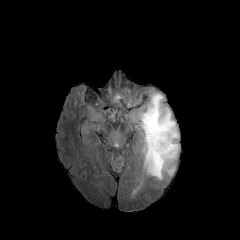
FLAIR MRI.
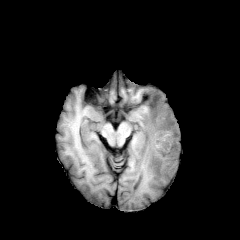
T1-weighted magnetic resonance of the same slice.
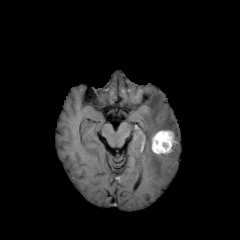
Post-contrast T1-weighted MRI of the same slice.
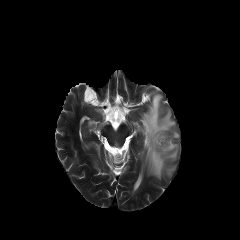
Same slice, T2-weighted MRI.
Brain. Axial plane.
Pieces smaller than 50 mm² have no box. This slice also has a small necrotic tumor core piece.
The peritumoral edema is located at <bbox>139, 91, 179, 179</bbox>. The enhancing tumor is at <bbox>151, 130, 176, 154</bbox>.